Slice index 34, Head, Image size 240x240
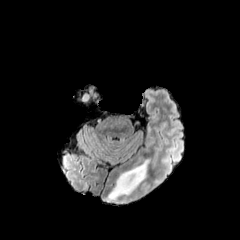
FLAIR MR.
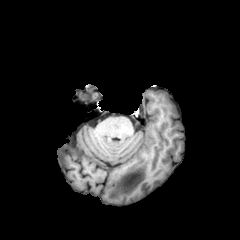
T1-weighted MRI of the same slice.
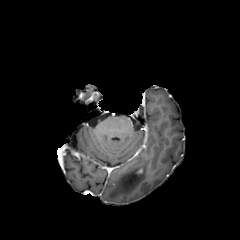
Post-contrast T1-weighted MRI of the same slice.
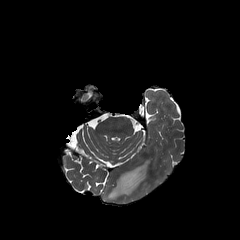
Same slice, T2-weighted MR image.
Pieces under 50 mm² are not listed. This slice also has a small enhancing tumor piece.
The peritumoral edema appears at (x1=104, y1=158, x2=150, y2=203).